Brain. 240x240.
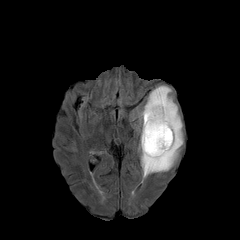
FLAIR MR.
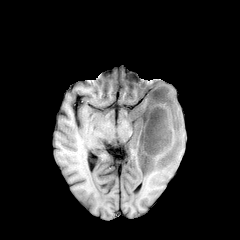
T1-weighted magnetic resonance.
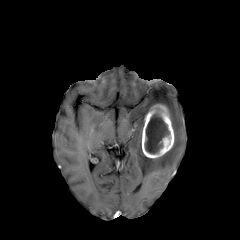
Same slice, post-contrast T1-weighted MR.
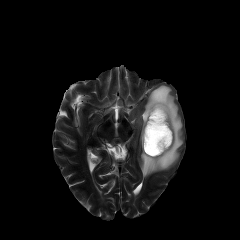
T2-weighted MR image.
{"peritumoral_edema": ["137 85 183 177"], "necrotic_tumor_core": ["145 114 169 153"], "enhancing_tumor": ["142 104 174 158"]}